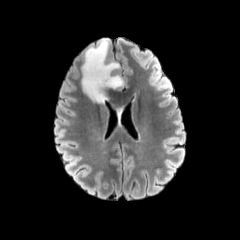
FLAIR MRI.
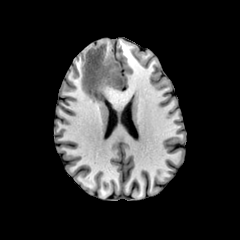
T1-weighted MRI.
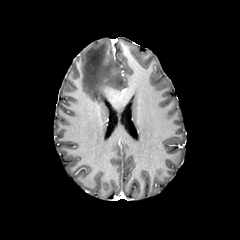
Post-contrast T1-weighted MR of the same slice.
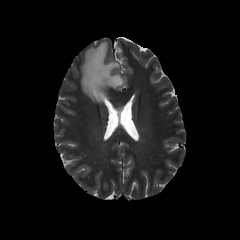
T2-weighted magnetic resonance.
Head, Axial slice, 240x240 px
<segmentation>
  <peritumoral_edema>box=[81, 39, 123, 102]</peritumoral_edema>
</segmentation>